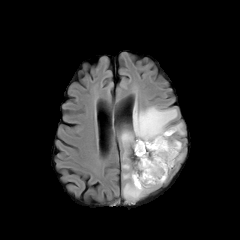
FLAIR magnetic resonance.
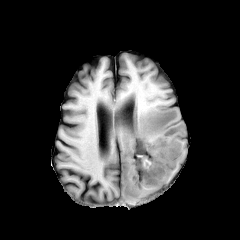
T1-weighted magnetic resonance.
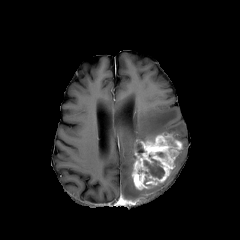
Post-contrast T1-weighted MR of the same slice.
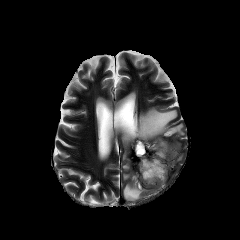
Same slice, T2-weighted magnetic resonance.
Axial view
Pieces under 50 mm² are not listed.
enhancing tumor: 131,133,182,190
peritumoral edema: 121,104,184,201
necrotic tumor core: 144,159,164,178; 137,144,143,153